Brain; Axial slice; Slice 56/155; 240x240 px
FLAIR MRI.
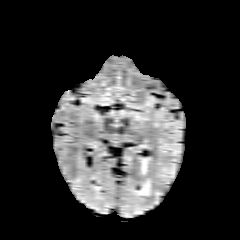
T1-weighted MR image.
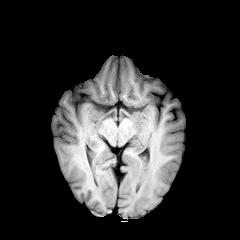
Post-contrast T1-weighted MRI.
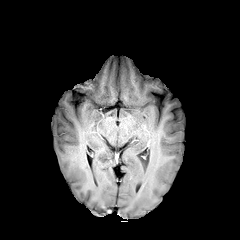
T2-weighted MRI.
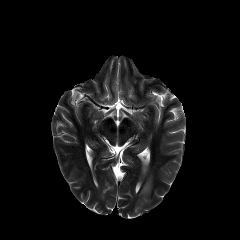
2 peritumoral edema regions are located at [x1=141, y1=162, x2=148, y2=175], [x1=138, y1=179, x2=150, y2=195].